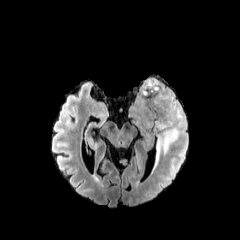
FLAIR magnetic resonance.
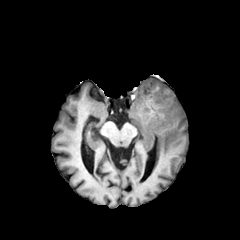
T1-weighted MRI.
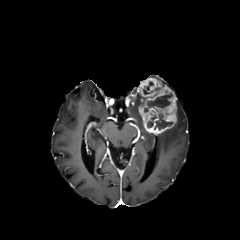
Post-contrast T1-weighted MRI of the same slice.
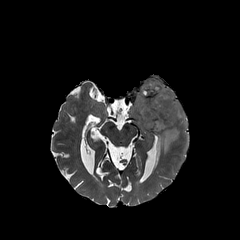
T2-weighted MR image.
Brain.
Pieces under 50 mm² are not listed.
The 4 largest necrotic tumor core regions are located at box(154, 114, 172, 129); box(147, 115, 156, 127); box(143, 82, 153, 94); box(147, 93, 172, 107). The 2 largest peritumoral edema regions appear at box(156, 101, 186, 161); box(136, 93, 145, 106). The enhancing tumor is at box(138, 77, 176, 134).